240x240. Axial plane. Brain.
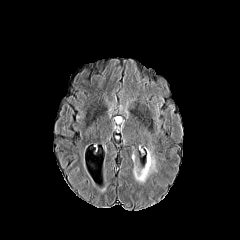
FLAIR MR.
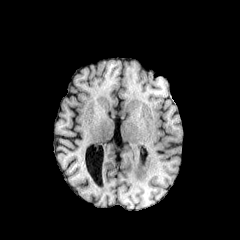
T1-weighted MRI.
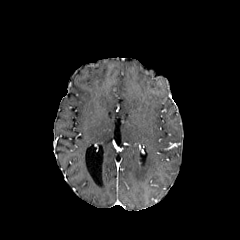
Post-contrast T1-weighted MR image.
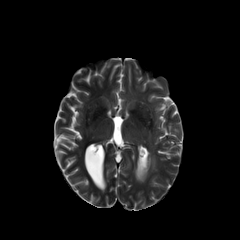
Same slice, T2-weighted MR image.
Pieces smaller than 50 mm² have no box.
Findings:
- peritumoral edema: bbox=[134, 151, 156, 182]